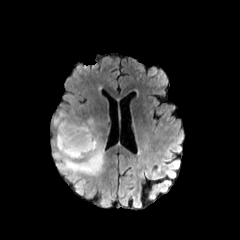
FLAIR MR image.
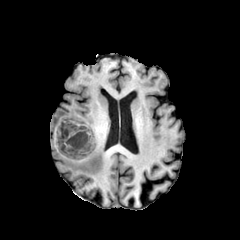
T1-weighted magnetic resonance.
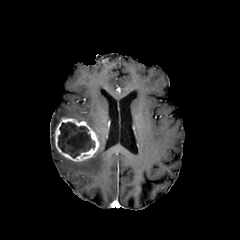
Post-contrast T1-weighted MR image.
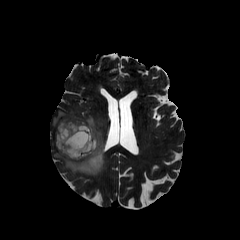
Same slice, T2-weighted MR.
Head; Axial plane
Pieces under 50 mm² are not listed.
The enhancing tumor is located at {"x1": 54, "y1": 118, "x2": 99, "y2": 161}. The peritumoral edema lies within {"x1": 52, "y1": 109, "x2": 106, "y2": 199}. The largest necrotic tumor core region is at {"x1": 58, "y1": 122, "x2": 95, "y2": 158}.